FLAIR MRI.
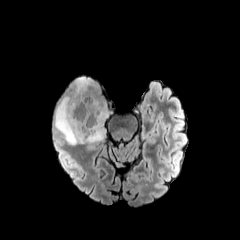
T1-weighted MR.
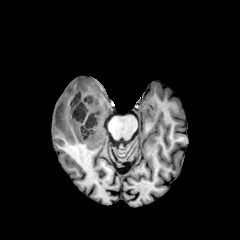
Post-contrast T1-weighted MR image.
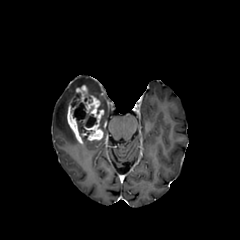
T2-weighted magnetic resonance.
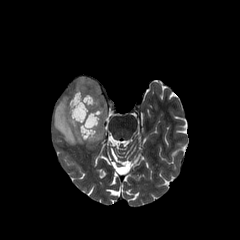
Axial slice; Image size 240x240
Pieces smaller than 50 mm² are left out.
enhancing tumor = 67,85,104,143
necrotic tumor core = 74,103,85,120; 86,116,95,127
peritumoral edema = 54,96,78,145; 74,77,108,140